FLAIR magnetic resonance.
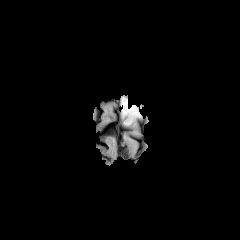
T1-weighted MRI.
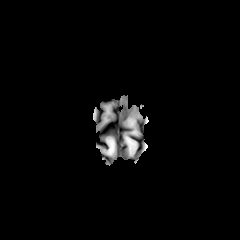
Post-contrast T1-weighted MR image.
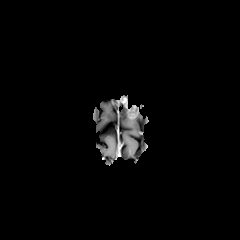
T2-weighted MRI.
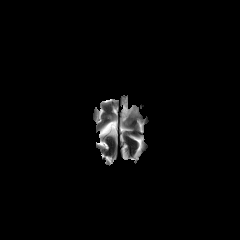
Brain
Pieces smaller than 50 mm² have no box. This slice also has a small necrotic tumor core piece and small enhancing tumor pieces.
The largest peritumoral edema region lies within {"x1": 121, "y1": 103, "x2": 141, "y2": 125}.